FLAIR MR.
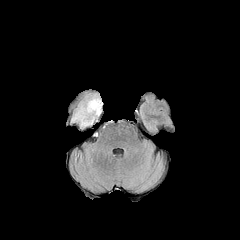
T1-weighted magnetic resonance.
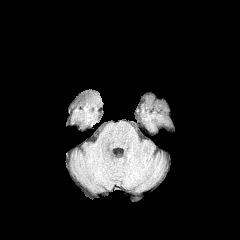
Post-contrast T1-weighted magnetic resonance.
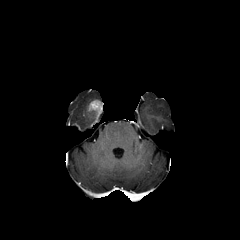
T2-weighted MRI.
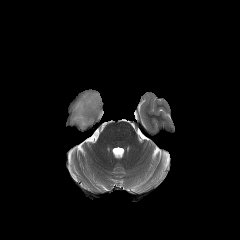
Image size 240x240, Brain
enhancing_tumor:
  - (88,99,103,118)
peritumoral_edema:
  - (71,93,101,127)